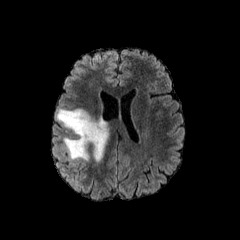
FLAIR MR image.
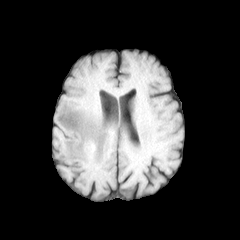
T1-weighted MR image.
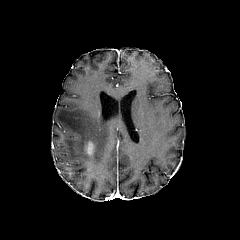
Same slice, post-contrast T1-weighted MR image.
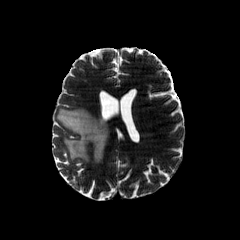
Same slice, T2-weighted MR image.
enhancing tumor: bounding box [86, 142, 92, 154]
peritumoral edema: bounding box [56, 108, 108, 162]